Image covers 240 mm x 240 mm; Axial view; Slice 81/155
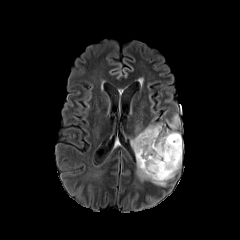
FLAIR MRI.
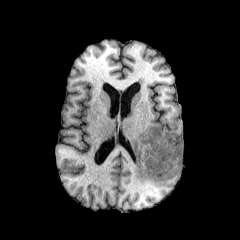
T1-weighted magnetic resonance of the same slice.
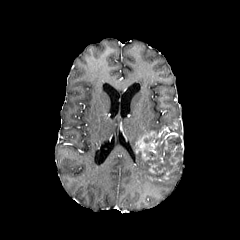
Post-contrast T1-weighted MRI of the same slice.
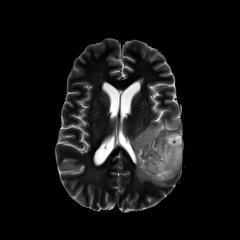
T2-weighted MR image of the same slice.
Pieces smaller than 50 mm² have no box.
peritumoral edema: bounding box [x1=136, y1=155, x2=167, y2=186], [x1=131, y1=123, x2=163, y2=151], [x1=168, y1=115, x2=179, y2=131], [x1=168, y1=154, x2=180, y2=179]
enhancing tumor: bounding box [x1=135, y1=129, x2=178, y2=161], [x1=163, y1=158, x2=178, y2=179]
necrotic tumor core: bounding box [x1=138, y1=135, x2=180, y2=179]